Slice 89/155; 240x240 px; Axial plane
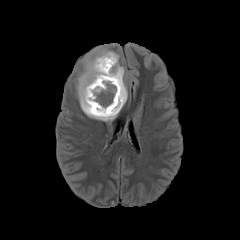
FLAIR MR.
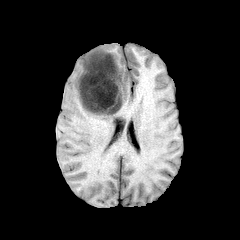
Same slice, T1-weighted MR.
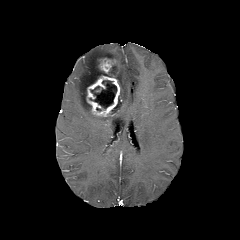
Post-contrast T1-weighted MR image of the same slice.
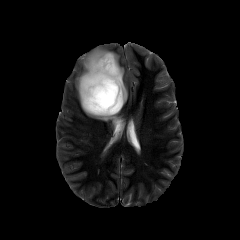
Same slice, T2-weighted MR.
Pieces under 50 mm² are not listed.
{"necrotic_tumor_core": ["90,80,116,108", "111,94,120,114"], "peritumoral_edema": ["76,46,127,122"], "enhancing_tumor": ["99,58,116,73", "86,75,120,116"]}